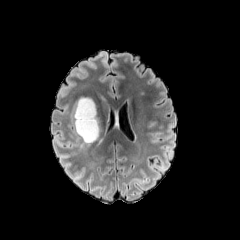
FLAIR MR.
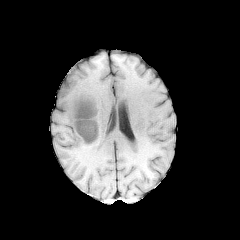
Same slice, T1-weighted MRI.
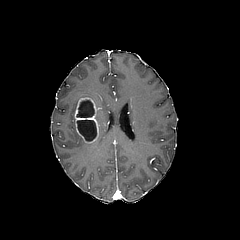
Post-contrast T1-weighted MR image.
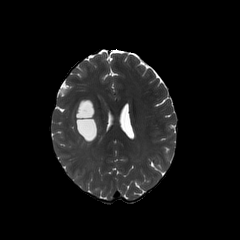
T2-weighted MR image of the same slice.
Brain.
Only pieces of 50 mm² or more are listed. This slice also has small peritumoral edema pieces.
2 necrotic tumor core regions appear at x1=77 y1=100 x2=93 y2=117, x1=77 y1=120 x2=96 y2=141. The enhancing tumor lies within x1=74 y1=97 x2=98 y2=143.